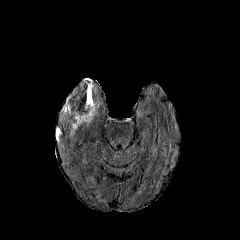
FLAIR MR.
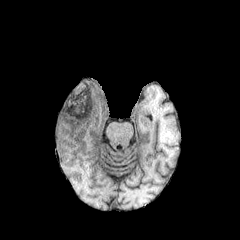
T1-weighted MRI.
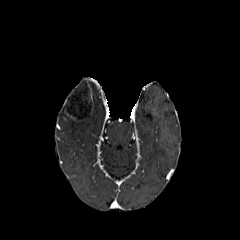
Post-contrast T1-weighted MRI of the same slice.
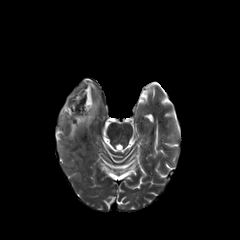
T2-weighted MR of the same slice.
Axial plane. Brain.
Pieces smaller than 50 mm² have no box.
enhancing tumor: [65,81,91,106]
peritumoral edema: [88,79,96,95], [70,101,99,137]
necrotic tumor core: [63,83,91,120]